Image size 240x240
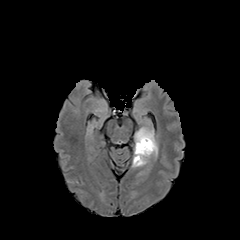
FLAIR magnetic resonance.
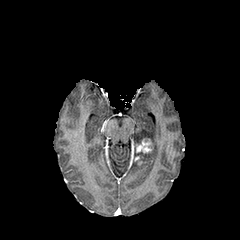
T1-weighted MRI.
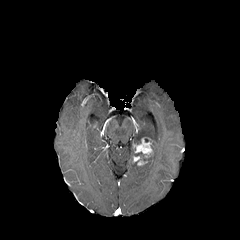
Post-contrast T1-weighted MR image.
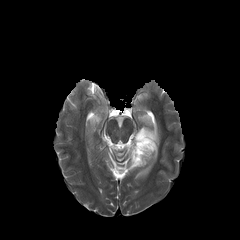
Same slice, T2-weighted magnetic resonance.
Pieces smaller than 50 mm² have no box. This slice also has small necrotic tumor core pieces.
The enhancing tumor lies within (133,137,152,165). The 3 largest peritumoral edema regions are located at (137,168,149,176), (131,144,150,168), (134,126,158,160).